Image covers 240 mm x 240 mm; Brain
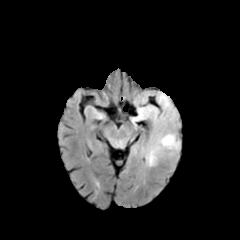
FLAIR MR image.
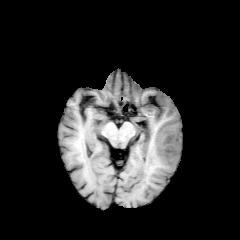
T1-weighted MRI.
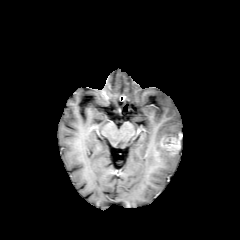
Post-contrast T1-weighted MR image.
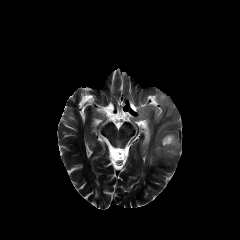
T2-weighted MR image.
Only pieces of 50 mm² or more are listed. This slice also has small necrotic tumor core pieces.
The largest enhancing tumor region appears at (160,136,180,155). The peritumoral edema lies within (131,91,181,166).